Image size 240x240; Axial plane
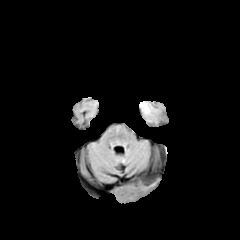
FLAIR MRI.
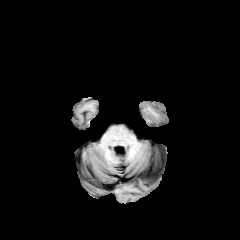
T1-weighted MRI.
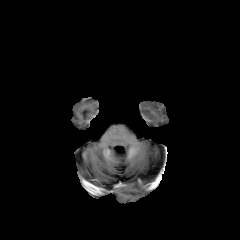
Post-contrast T1-weighted MR of the same slice.
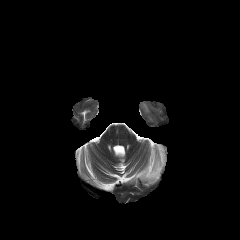
T2-weighted magnetic resonance of the same slice.
peritumoral edema at 139:101:152:115